FLAIR MRI.
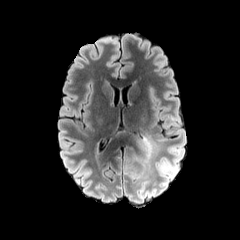
T1-weighted MR.
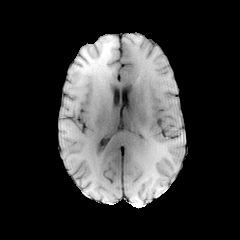
Post-contrast T1-weighted magnetic resonance.
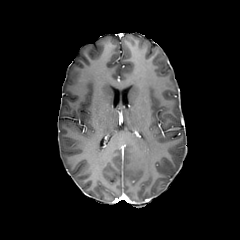
T2-weighted MR.
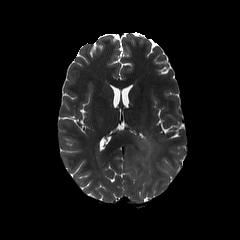
Image size 240x240
peritumoral edema = (126, 137, 153, 192), (156, 160, 176, 175)